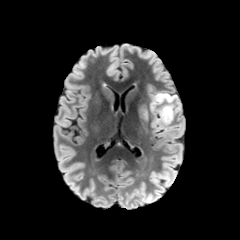
FLAIR MR.
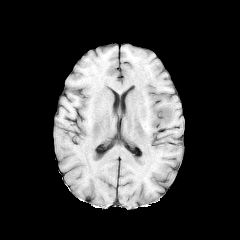
T1-weighted magnetic resonance.
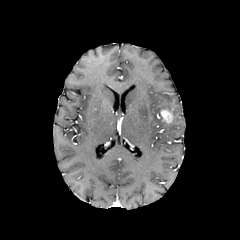
Post-contrast T1-weighted magnetic resonance.
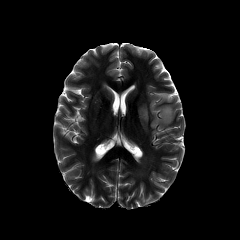
T2-weighted MR of the same slice.
Axial view
The enhancing tumor is located at (x1=160, y1=109, x2=172, y2=123). 2 peritumoral edema regions are bounded by (x1=150, y1=93, x2=180, y2=131), (x1=141, y1=108, x2=148, y2=120).